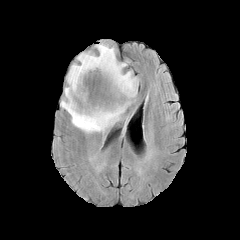
FLAIR MR image.
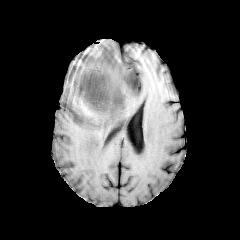
T1-weighted MR of the same slice.
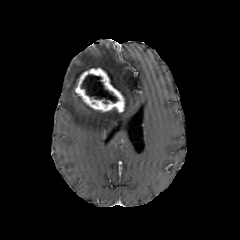
Post-contrast T1-weighted MR image.
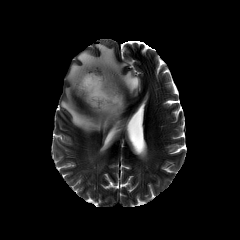
T2-weighted MR image.
Brain
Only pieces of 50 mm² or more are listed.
The necrotic tumor core is at (left=82, top=75, right=116, bottom=102). The largest peritumoral edema region appears at (left=61, top=42, right=139, bottom=133). The enhancing tumor is bounded by (left=74, top=67, right=125, bottom=112).